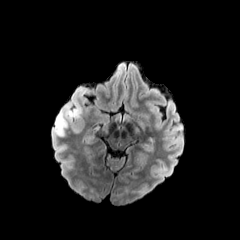
FLAIR MRI.
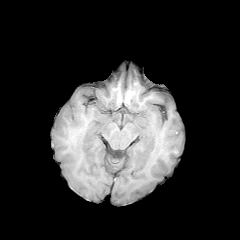
T1-weighted magnetic resonance.
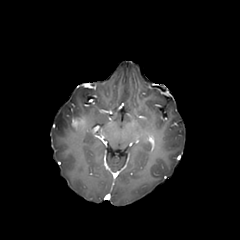
Same slice, post-contrast T1-weighted MRI.
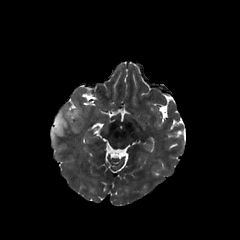
T2-weighted MR image of the same slice.
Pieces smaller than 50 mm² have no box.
enhancing tumor: left=71, top=116, right=85, bottom=131
peritumoral edema: left=56, top=106, right=81, bottom=134